FLAIR MR.
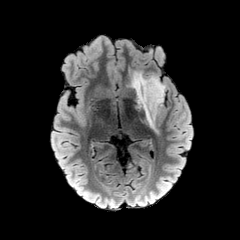
T1-weighted MRI.
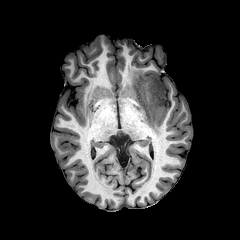
Post-contrast T1-weighted MR image.
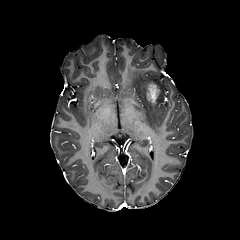
T2-weighted MR image.
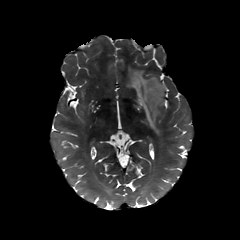
240x240
The enhancing tumor is at 146,82,160,104. The peritumoral edema is bounded by 129,69,165,130.